FLAIR MRI.
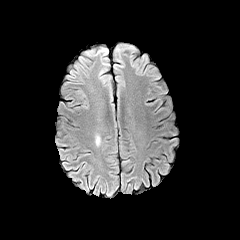
T1-weighted MRI.
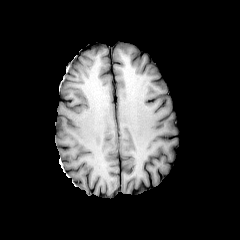
Post-contrast T1-weighted MRI.
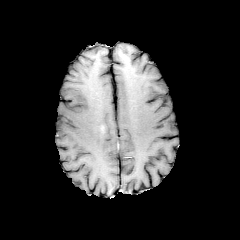
T2-weighted MR image.
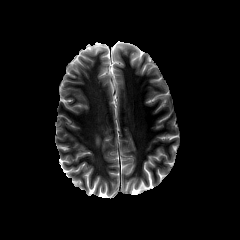
The peritumoral edema is bounded by [x1=95, y1=134, x2=102, y2=145].